FLAIR magnetic resonance.
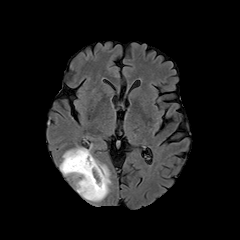
T1-weighted MRI.
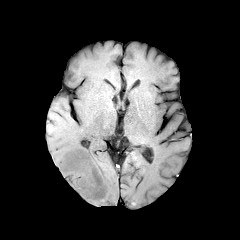
Post-contrast T1-weighted MR.
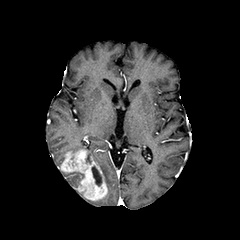
T2-weighted MR.
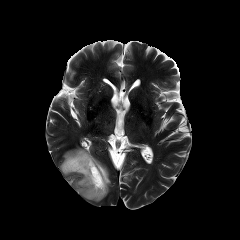
Axial view, Head, 240x240
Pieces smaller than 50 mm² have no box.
Annotated regions:
* peritumoral edema: bbox=[67, 145, 111, 194]; bbox=[61, 171, 83, 191]
* enhancing tumor: bbox=[60, 149, 107, 200]
* necrotic tumor core: bbox=[91, 166, 101, 186]